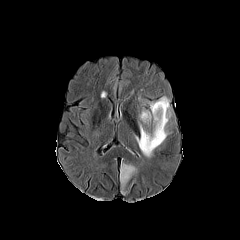
FLAIR MR image.
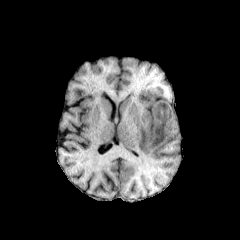
T1-weighted MRI.
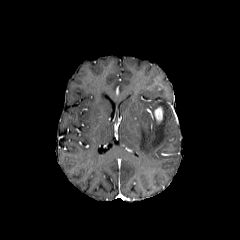
Post-contrast T1-weighted MRI of the same slice.
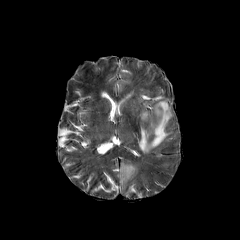
T2-weighted magnetic resonance.
Axial view | Head
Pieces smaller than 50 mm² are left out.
enhancing tumor: region(153, 106, 163, 123) | peritumoral edema: region(135, 96, 171, 156); region(120, 163, 136, 188)